Slice index 130
FLAIR MR image.
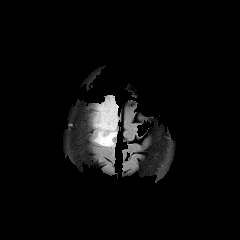
T1-weighted MR.
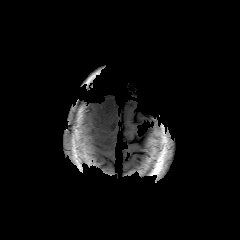
Post-contrast T1-weighted MRI.
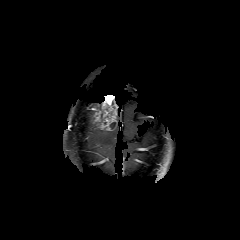
T2-weighted magnetic resonance.
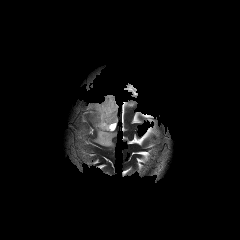
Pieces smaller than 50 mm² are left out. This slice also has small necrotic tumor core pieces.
The largest peritumoral edema region is bounded by bbox=[94, 123, 117, 147]. The largest enhancing tumor region lies within bbox=[93, 95, 118, 130].